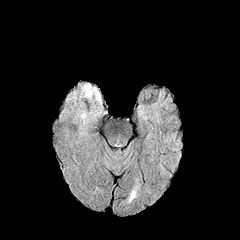
FLAIR magnetic resonance.
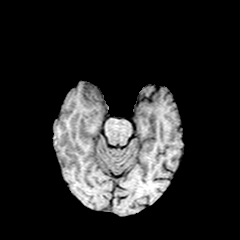
T1-weighted magnetic resonance.
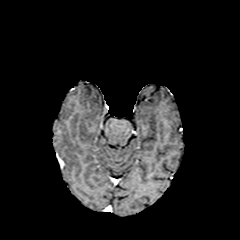
Post-contrast T1-weighted MR image.
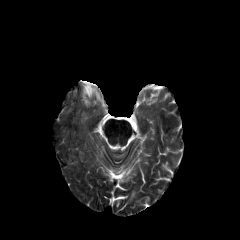
T2-weighted magnetic resonance.
240x240 px, Axial view
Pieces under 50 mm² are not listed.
The largest peritumoral edema region is bounded by 84, 85, 94, 96.